FLAIR MRI.
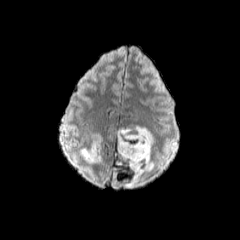
T1-weighted MRI.
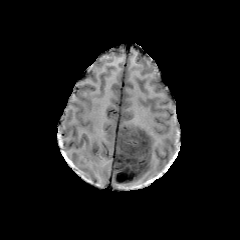
Post-contrast T1-weighted MR.
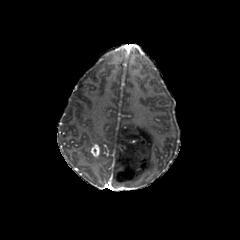
T2-weighted magnetic resonance.
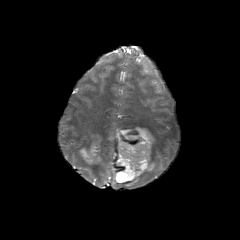
Axial view
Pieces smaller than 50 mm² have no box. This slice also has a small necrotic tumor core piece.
2 peritumoral edema regions appear at (x1=80, y1=134, x2=102, y2=162), (x1=112, y1=126, x2=154, y2=186). The enhancing tumor lies within (x1=87, y1=143, x2=99, y2=157).